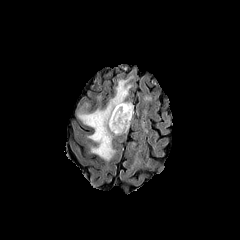
FLAIR MR image.
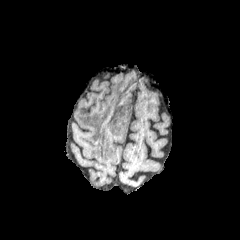
T1-weighted MR.
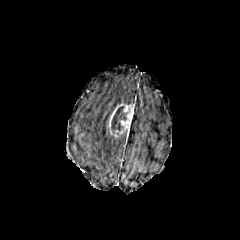
Post-contrast T1-weighted MRI.
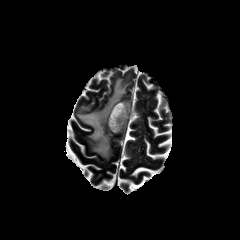
T2-weighted magnetic resonance.
Head
peritumoral edema at <bbox>78, 79, 130, 161</bbox>
necrotic tumor core at <bbox>111, 106, 126, 132</bbox>
enhancing tumor at <bbox>107, 103, 133, 136</bbox>